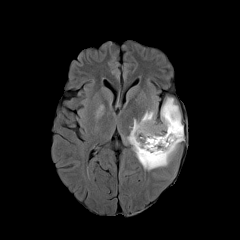
FLAIR MR image.
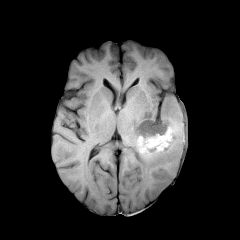
T1-weighted MRI.
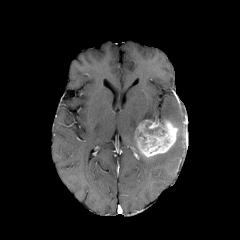
Post-contrast T1-weighted MR of the same slice.
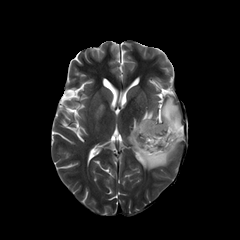
Same slice, T2-weighted MR.
Head; Image size 240x240
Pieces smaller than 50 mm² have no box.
Annotated regions:
- necrotic tumor core: x1=146, y1=123, x2=166, y2=136; x1=138, y1=133, x2=146, y2=147
- peritumoral edema: x1=95, y1=103, x2=105, y2=121; x1=127, y1=97, x2=184, y2=170
- enhancing tumor: x1=137, y1=120, x2=177, y2=157